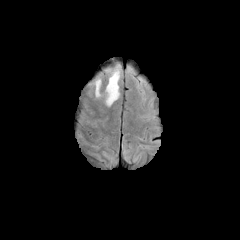
FLAIR magnetic resonance.
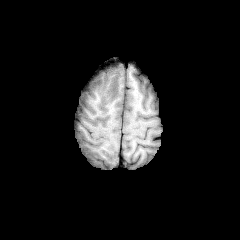
T1-weighted magnetic resonance.
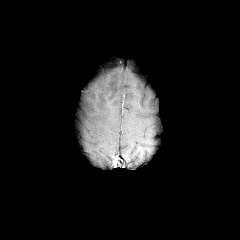
Post-contrast T1-weighted MRI of the same slice.
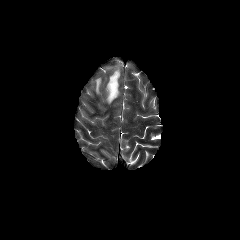
Same slice, T2-weighted magnetic resonance.
240x240 px. Axial slice.
2 peritumoral edema regions are bounded by x1=105 y1=67 x2=120 y2=107, x1=95 y1=79 x2=100 y2=96.